Image width 240 mm, 1.00 mm slice spacing | Axial slice | Head
FLAIR MR image.
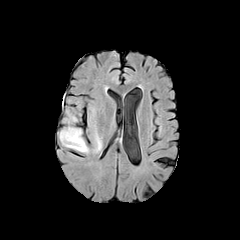
T1-weighted MRI.
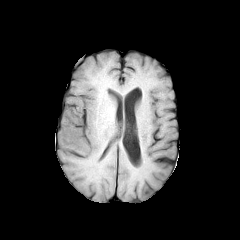
Post-contrast T1-weighted magnetic resonance.
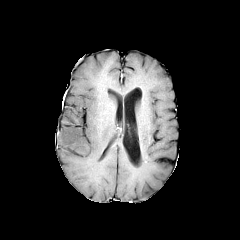
T2-weighted MRI.
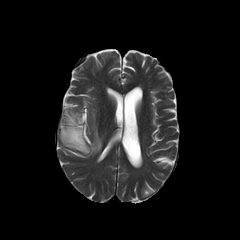
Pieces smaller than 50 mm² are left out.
The largest peritumoral edema region is at x1=60, y1=110, x2=101, y2=153.